FLAIR MRI.
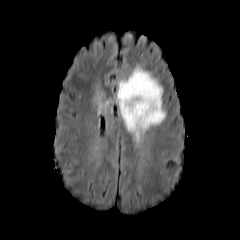
T1-weighted MR.
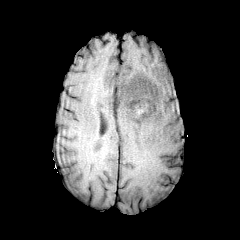
Post-contrast T1-weighted MR.
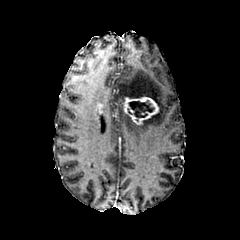
T2-weighted magnetic resonance.
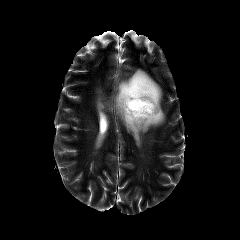
Axial plane; Head
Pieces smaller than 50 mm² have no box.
The largest necrotic tumor core region lies within 127, 101, 154, 118. The largest enhancing tumor region is located at 123, 96, 158, 124. 2 peritumoral edema regions appear at 97, 97, 109, 109; 116, 67, 165, 141.